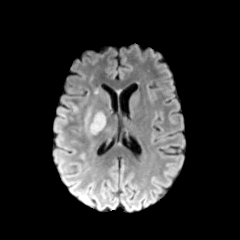
FLAIR MR image.
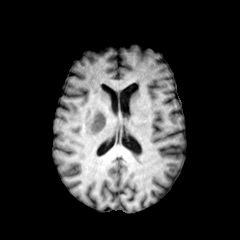
T1-weighted MR image.
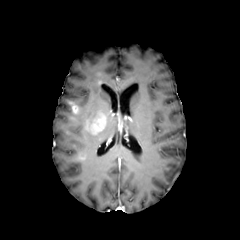
Post-contrast T1-weighted magnetic resonance of the same slice.
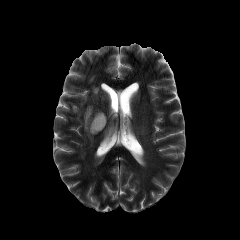
Same slice, T2-weighted magnetic resonance.
Head.
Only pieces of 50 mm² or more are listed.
peritumoral_edema:
  - box(85, 111, 91, 128)
enhancing_tumor:
  - box(86, 112, 105, 134)